Slice 110 of 155; 240x240
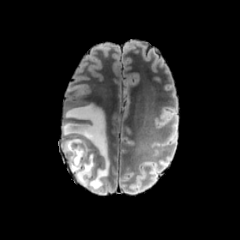
FLAIR MR.
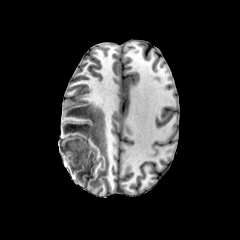
T1-weighted MR of the same slice.
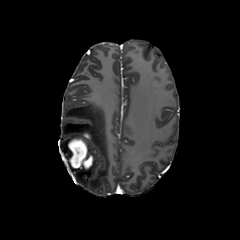
Post-contrast T1-weighted MR.
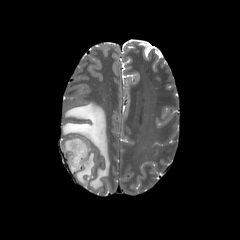
T2-weighted magnetic resonance of the same slice.
<segmentation>
  <enhancing_tumor>(x1=67, y1=132, x2=93, y2=169)</enhancing_tumor>
  <peritumoral_edema>(x1=61, y1=103, x2=109, y2=191)</peritumoral_edema>
</segmentation>